FLAIR magnetic resonance.
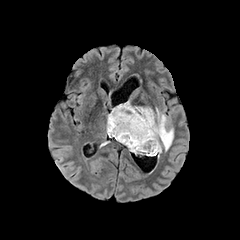
T1-weighted magnetic resonance.
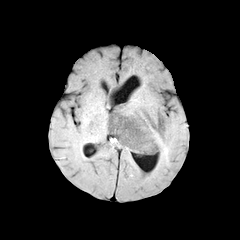
Post-contrast T1-weighted MR.
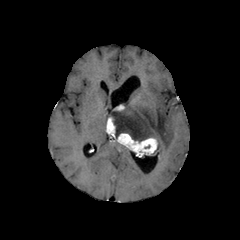
T2-weighted MR.
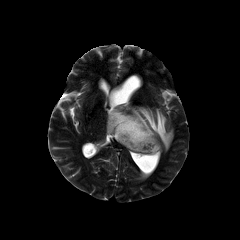
Brain, Axial plane
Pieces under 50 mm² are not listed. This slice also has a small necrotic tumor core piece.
Segmented structures:
- enhancing tumor: 113,104,124,111; 106,116,157,156
- peritumoral edema: 107,100,173,155